FLAIR MR.
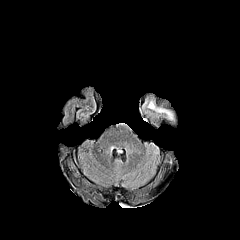
T1-weighted MR.
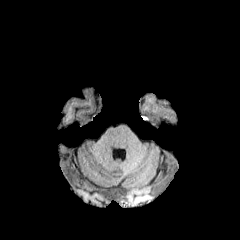
Post-contrast T1-weighted magnetic resonance.
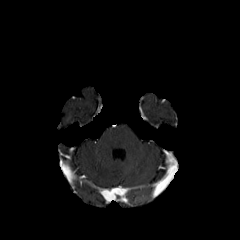
T2-weighted MR.
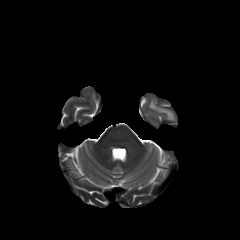
Axial plane, Image size 240x240
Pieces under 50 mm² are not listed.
peritumoral edema = (left=146, top=99, right=175, bottom=121)
enhancing tumor = (left=166, top=154, right=173, bottom=164)